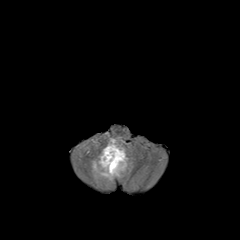
FLAIR MR.
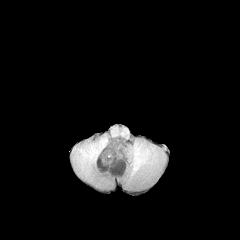
T1-weighted MRI.
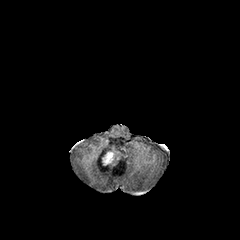
Same slice, post-contrast T1-weighted magnetic resonance.
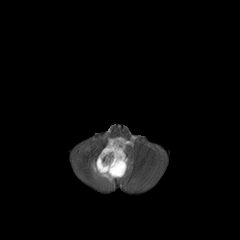
Same slice, T2-weighted MRI.
Head; Image size 240x240
enhancing tumor = (x1=99, y1=145, x2=125, y2=173)
peritumoral edema = (x1=92, y1=137, x2=128, y2=182)